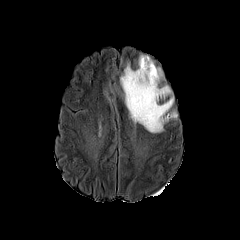
FLAIR MR.
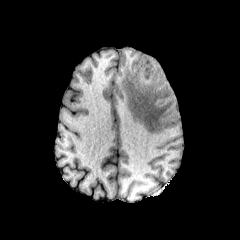
Same slice, T1-weighted MR image.
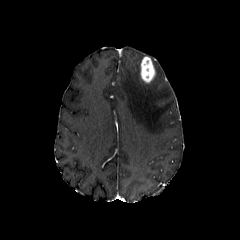
Post-contrast T1-weighted MR image.
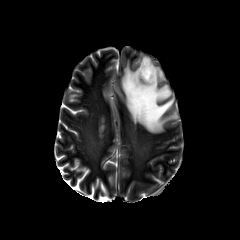
Same slice, T2-weighted MR.
peritumoral edema at bbox=[121, 55, 177, 133]
enhancing tumor at bbox=[140, 56, 155, 83]